Slice 43 of 155
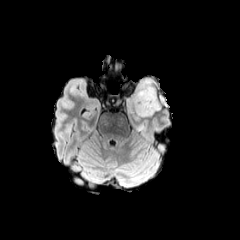
FLAIR magnetic resonance.
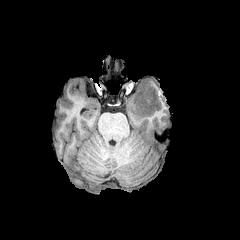
T1-weighted magnetic resonance.
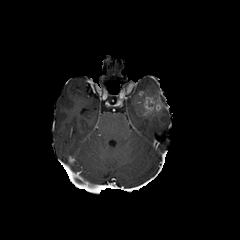
Post-contrast T1-weighted MR.
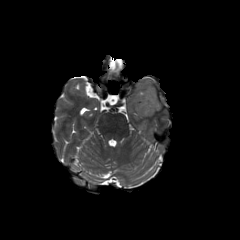
T2-weighted MR.
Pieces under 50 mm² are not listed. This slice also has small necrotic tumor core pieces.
{
  "enhancing_tumor": [
    "(left=137, top=91, right=163, bottom=115)"
  ],
  "peritumoral_edema": [
    "(left=125, top=77, right=158, bottom=120)"
  ]
}